Image width 240 mm.
FLAIR MR image.
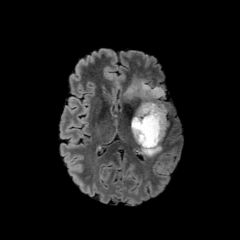
T1-weighted MR.
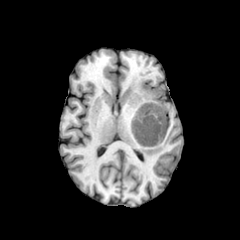
Post-contrast T1-weighted MR image.
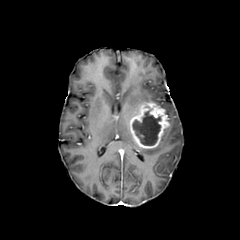
T2-weighted magnetic resonance.
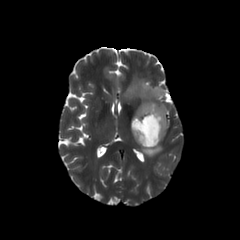
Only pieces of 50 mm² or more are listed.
The largest enhancing tumor region is located at [130, 102, 169, 148]. The necrotic tumor core is located at [132, 110, 160, 145]. The 2 largest peritumoral edema regions are located at [124, 74, 167, 114], [141, 143, 162, 156].